Axial slice.
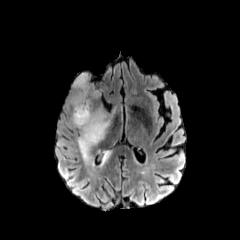
FLAIR MR.
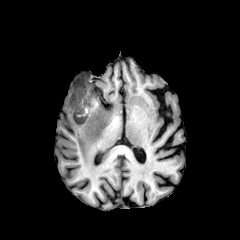
T1-weighted MR image.
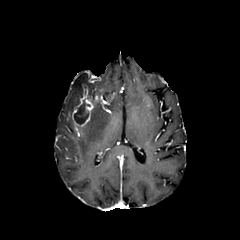
Post-contrast T1-weighted MRI.
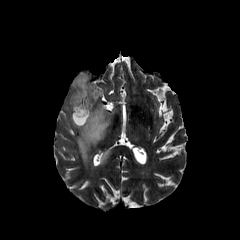
Same slice, T2-weighted MR.
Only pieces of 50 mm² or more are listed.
enhancing tumor: bounding box 68:85:100:128
necrotic tumor core: bounding box 74:100:88:124
peritumoral edema: bounding box 65:72:102:113, 73:106:111:161, 103:151:110:162